Image size 240x240
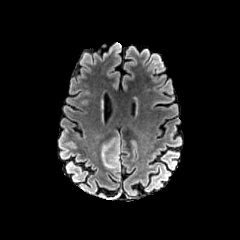
FLAIR magnetic resonance.
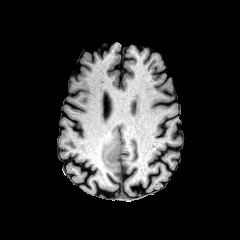
Same slice, T1-weighted magnetic resonance.
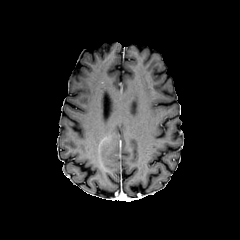
Post-contrast T1-weighted magnetic resonance.
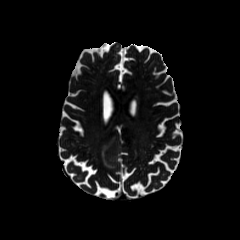
Same slice, T2-weighted MR image.
The peritumoral edema is located at left=101, top=129, right=120, bottom=172.